FLAIR MR.
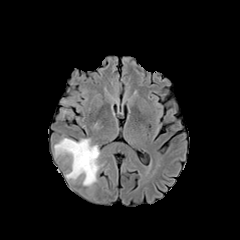
T1-weighted MR.
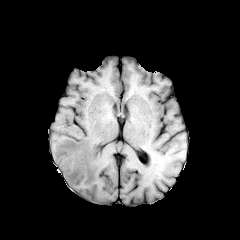
Post-contrast T1-weighted MRI.
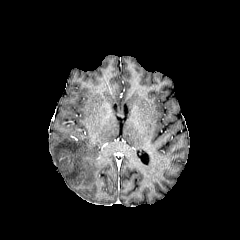
T2-weighted magnetic resonance.
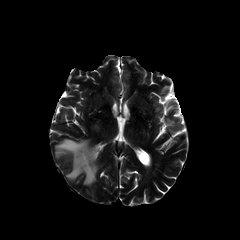
Head
<segmentation>
  <peritumoral_edema>left=54, top=138, right=99, bottom=185</peritumoral_edema>
</segmentation>